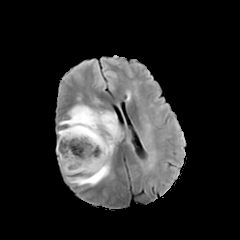
FLAIR MR image.
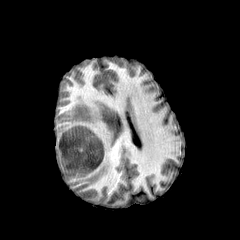
T1-weighted MR.
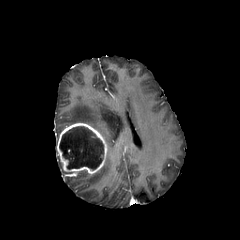
Same slice, post-contrast T1-weighted magnetic resonance.
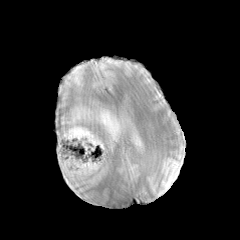
Same slice, T2-weighted MR.
Head
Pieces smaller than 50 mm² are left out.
Findings:
• enhancing tumor: left=56, top=123, right=107, bottom=176
• peritumoral edema: left=59, top=105, right=121, bottom=185
• necrotic tumor core: left=59, top=127, right=103, bottom=169